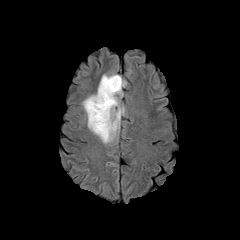
FLAIR MR image.
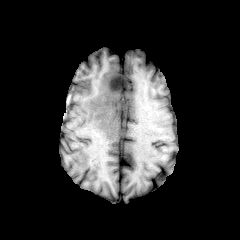
T1-weighted MR image.
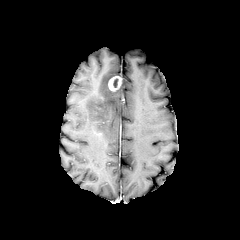
Post-contrast T1-weighted magnetic resonance.
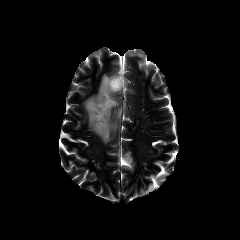
T2-weighted MR.
Brain
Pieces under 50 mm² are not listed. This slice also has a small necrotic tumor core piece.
enhancing tumor: 108,76,122,91 | peritumoral edema: 82,73,126,143